FLAIR MRI.
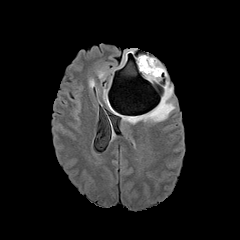
T1-weighted MR image.
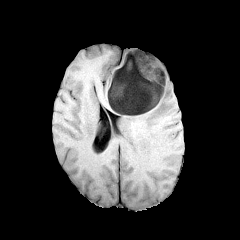
Post-contrast T1-weighted magnetic resonance.
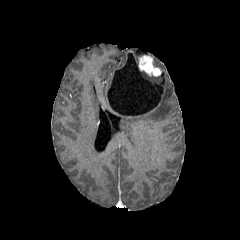
T2-weighted magnetic resonance.
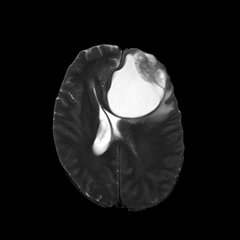
Brain; Image size 240x240
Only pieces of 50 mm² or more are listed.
necrotic_tumor_core:
  - left=107, top=52, right=164, bottom=115
peritumoral_edema:
  - left=129, top=82, right=174, bottom=123
  - left=143, top=71, right=160, bottom=81
  - left=154, top=58, right=166, bottom=76
enhancing_tumor:
  - left=107, top=101, right=160, bottom=117
  - left=139, top=56, right=161, bottom=76
  - left=118, top=51, right=133, bottom=68